FLAIR MR image.
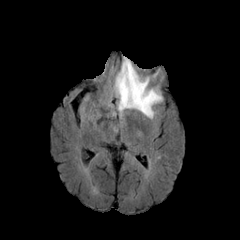
T1-weighted MR.
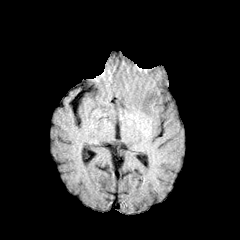
Post-contrast T1-weighted MR.
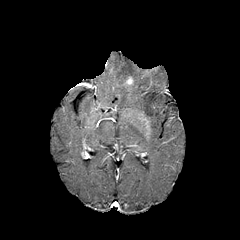
T2-weighted MR.
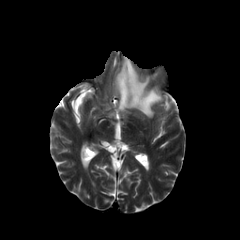
Brain, 240x240
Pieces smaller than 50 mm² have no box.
The enhancing tumor is bounded by <box>124,76,133,85</box>. The largest peritumoral edema region appears at <box>114,56,162,118</box>.